Slice 56 of 155 | Brain | Axial view
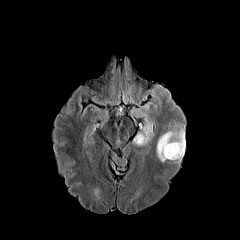
FLAIR MR.
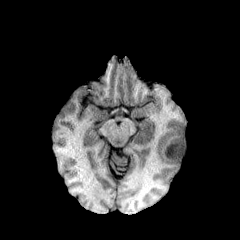
Same slice, T1-weighted MRI.
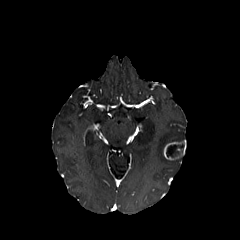
Post-contrast T1-weighted MR.
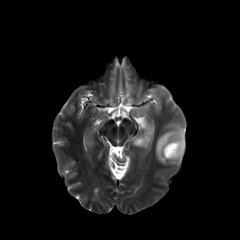
Same slice, T2-weighted MRI.
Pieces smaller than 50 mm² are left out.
The enhancing tumor is at 164:140:185:160. The 2 largest peritumoral edema regions appear at 133:120:153:146, 156:127:184:163. The necrotic tumor core is bounded by 166:144:184:157.